FLAIR MR image.
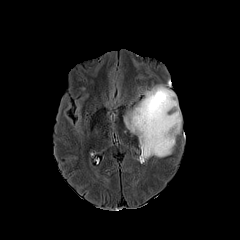
T1-weighted magnetic resonance.
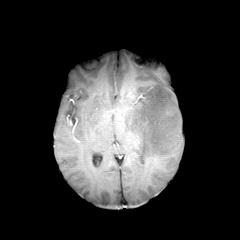
Post-contrast T1-weighted MR image.
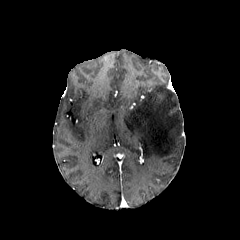
T2-weighted magnetic resonance.
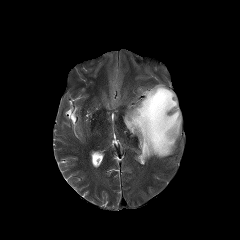
Image size 240x240; Axial view
peritumoral_edema:
  - (124,84,181,160)